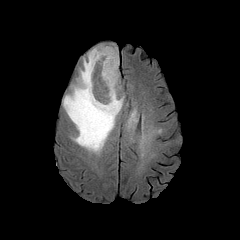
FLAIR magnetic resonance.
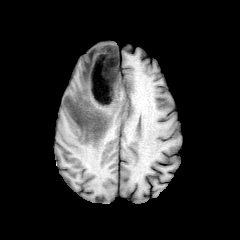
T1-weighted MR image.
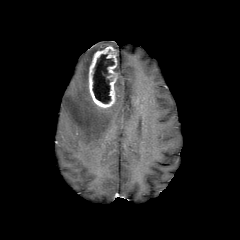
Post-contrast T1-weighted MRI.
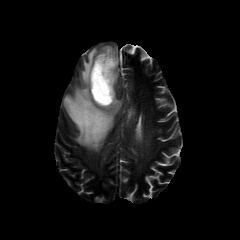
Same slice, T2-weighted magnetic resonance.
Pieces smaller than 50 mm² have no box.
peritumoral edema — bbox=[63, 45, 124, 152]; bbox=[128, 110, 135, 124]
necrotic tumor core — bbox=[92, 54, 114, 103]
enhancing tumor — bbox=[88, 46, 118, 107]